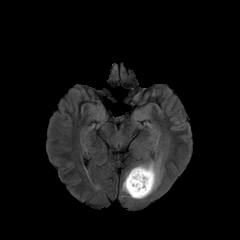
FLAIR MRI.
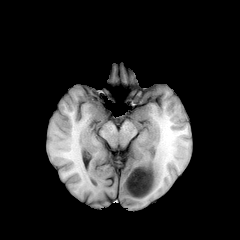
Same slice, T1-weighted MRI.
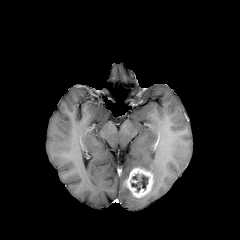
Post-contrast T1-weighted MRI of the same slice.
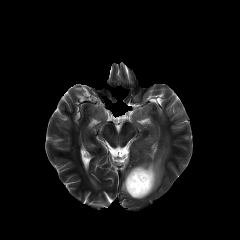
T2-weighted MRI.
Axial plane; 240x240; Head
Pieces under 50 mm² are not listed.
peritumoral edema — (x1=122, y1=153, x2=162, y2=199)
enhancing tumor — (x1=124, y1=167, x2=153, y2=197)
necrotic tumor core — (x1=131, y1=175, x2=148, y2=192)